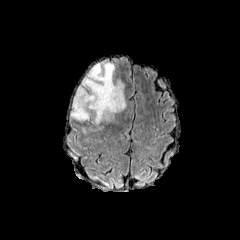
FLAIR MR image.
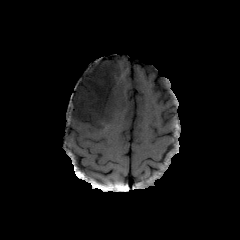
T1-weighted MR.
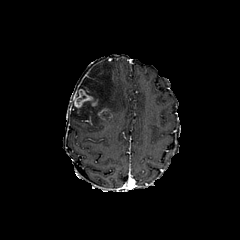
Post-contrast T1-weighted magnetic resonance of the same slice.
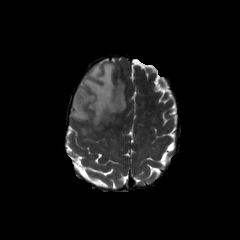
T2-weighted MR image.
Axial plane | 240x240 px
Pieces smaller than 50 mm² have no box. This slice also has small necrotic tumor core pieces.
<segmentation>
  <peritumoral_edema>70,61,126,128</peritumoral_edema>
  <enhancing_tumor>74,88,97,109; 97,108,113,121</enhancing_tumor>
</segmentation>